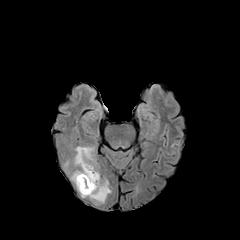
FLAIR MR image.
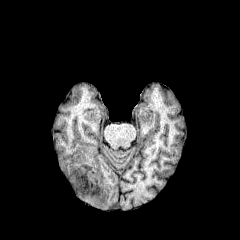
T1-weighted MR of the same slice.
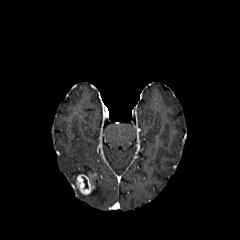
Post-contrast T1-weighted magnetic resonance.
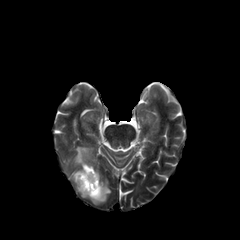
T2-weighted MR.
240x240 px
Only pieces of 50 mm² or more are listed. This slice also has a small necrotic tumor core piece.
{
  "peritumoral_edema": [
    "(72,146,110,204)"
  ],
  "enhancing_tumor": [
    "(76,172,97,194)"
  ]
}